Slice index 66, Head, 240x240, Axial view
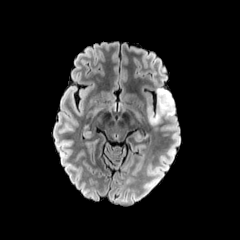
FLAIR MR.
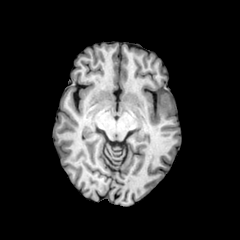
Same slice, T1-weighted MR image.
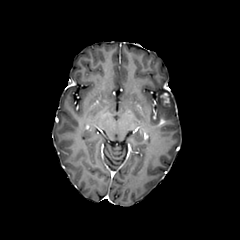
Post-contrast T1-weighted MR image of the same slice.
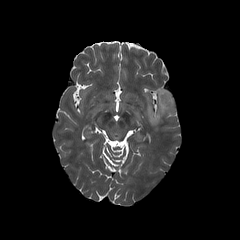
T2-weighted magnetic resonance.
{"enhancing_tumor": ["159:91:171:106"], "peritumoral_edema": ["146:88:175:125"]}